Image width 240 mm, 1.00 mm slice spacing; Head; Slice 102 of 155
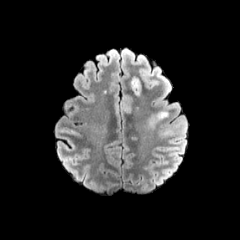
FLAIR MR image.
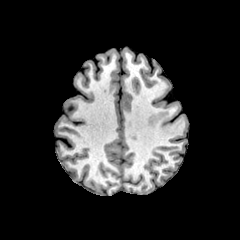
T1-weighted MR image.
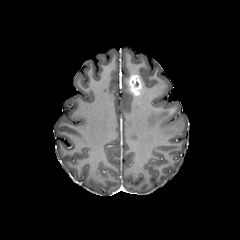
Post-contrast T1-weighted MR image.
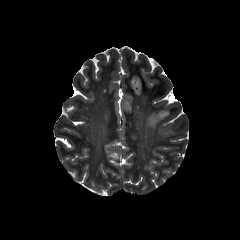
T2-weighted MR of the same slice.
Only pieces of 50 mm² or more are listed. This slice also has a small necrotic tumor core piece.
Annotated regions:
- peritumoral edema: 149,112,168,128
- enhancing tumor: 129,75,141,95